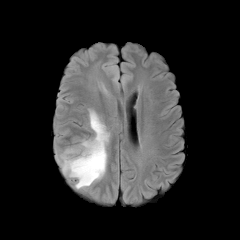
FLAIR magnetic resonance.
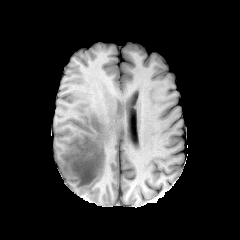
T1-weighted MR.
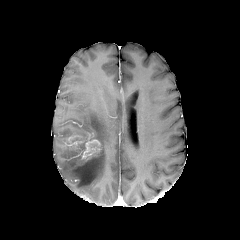
Post-contrast T1-weighted MRI of the same slice.
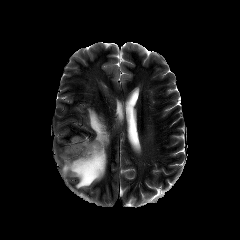
T2-weighted magnetic resonance.
Image size 240x240; Axial plane; Head
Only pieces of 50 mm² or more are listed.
The largest peritumoral edema region is located at [60,109,109,188]. The enhancing tumor lies within [68,138,100,162].